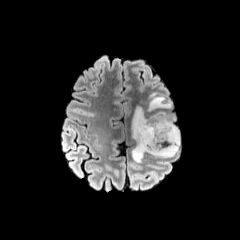
FLAIR MRI.
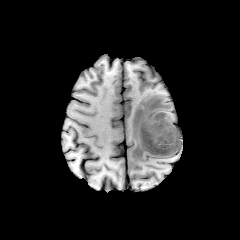
T1-weighted magnetic resonance.
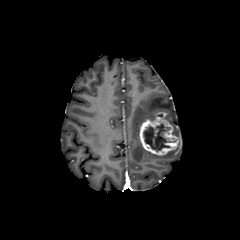
Same slice, post-contrast T1-weighted MRI.
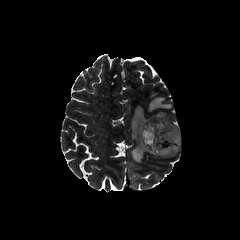
Same slice, T2-weighted MR image.
240x240 px, Axial plane
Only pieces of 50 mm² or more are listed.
enhancing_tumor:
  - box=[139, 112, 180, 155]
peritumoral_edema:
  - box=[131, 92, 180, 162]
  - box=[166, 113, 179, 136]
necrotic_tumor_core:
  - box=[143, 123, 170, 151]